FLAIR magnetic resonance.
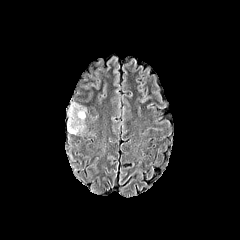
T1-weighted magnetic resonance.
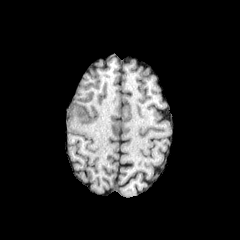
Post-contrast T1-weighted MR.
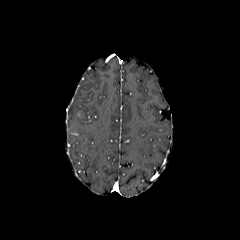
T2-weighted MRI.
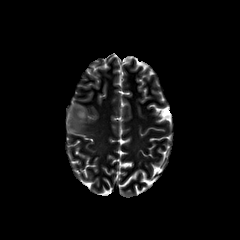
Axial view. Head.
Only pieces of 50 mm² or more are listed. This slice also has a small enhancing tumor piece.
The peritumoral edema is bounded by {"x1": 68, "y1": 103, "x2": 85, "y2": 133}.